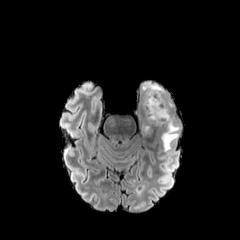
FLAIR MRI.
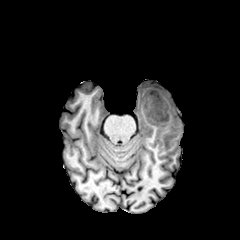
Same slice, T1-weighted magnetic resonance.
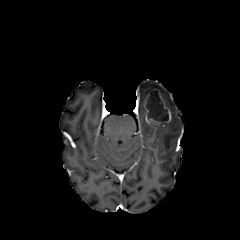
Post-contrast T1-weighted MR image.
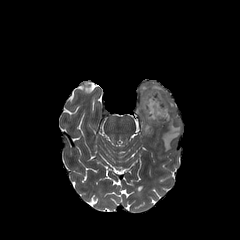
Same slice, T2-weighted magnetic resonance.
Axial plane, Head
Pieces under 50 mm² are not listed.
The largest peritumoral edema region is bounded by (left=141, top=82, right=180, bottom=150). The enhancing tumor is located at (left=142, top=89, right=171, bottom=126). The necrotic tumor core is located at (left=146, top=90, right=168, bottom=122).